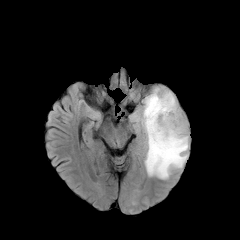
FLAIR MRI.
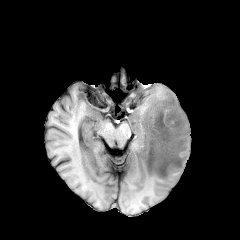
T1-weighted magnetic resonance.
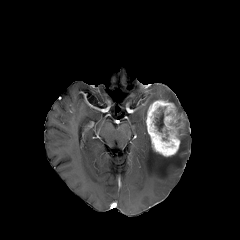
Post-contrast T1-weighted magnetic resonance.
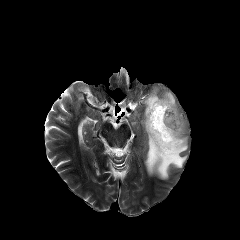
T2-weighted MRI.
{"necrotic_tumor_core": ["[x1=155, y1=110, x2=163, y2=131]"], "peritumoral_edema": ["[x1=133, y1=88, x2=188, y2=179]"], "enhancing_tumor": ["[x1=145, y1=99, x2=185, y2=156]"]}